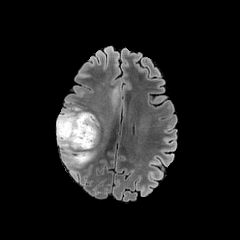
FLAIR MR.
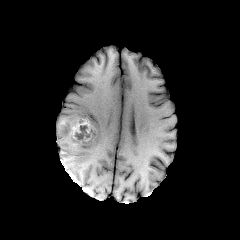
T1-weighted MRI.
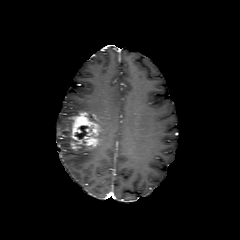
Post-contrast T1-weighted MR of the same slice.
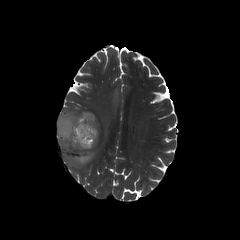
T2-weighted MR image.
240x240; Axial plane
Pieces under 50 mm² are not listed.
The largest peritumoral edema region lies within 56, 107, 94, 167. The largest enhancing tumor region lies within 70, 112, 100, 148. The largest necrotic tumor core region is at 75, 125, 88, 139.